FLAIR MRI.
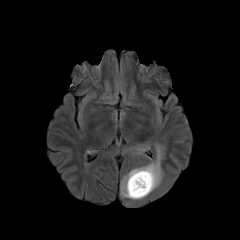
T1-weighted MR image.
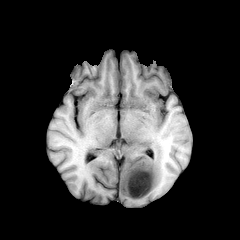
Post-contrast T1-weighted MR.
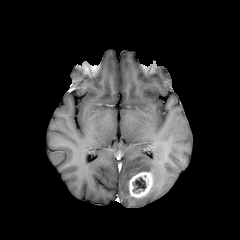
T2-weighted MRI.
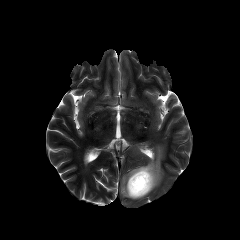
Brain; Axial view
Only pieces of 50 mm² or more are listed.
enhancing tumor = bbox=[128, 171, 153, 198]
peritumoral edema = bbox=[120, 144, 163, 200]
necrotic tumor core = bbox=[133, 177, 146, 192]